FLAIR MRI.
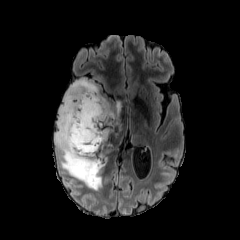
T1-weighted MR image.
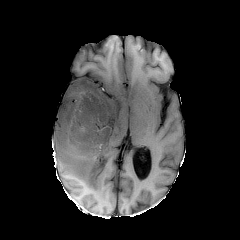
Post-contrast T1-weighted MR.
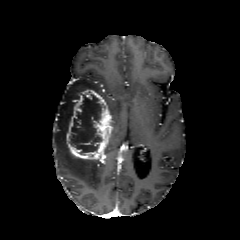
T2-weighted magnetic resonance.
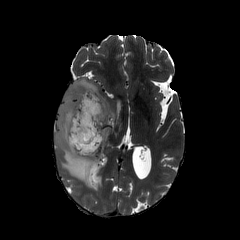
Axial view
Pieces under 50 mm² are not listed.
necrotic_tumor_core:
  - 69,94,101,153
enhancing_tumor:
  - 66,89,113,163
peritumoral_edema:
  - 110,100,121,126
  - 54,79,103,190